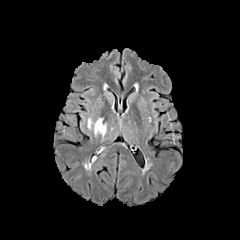
FLAIR MR image.
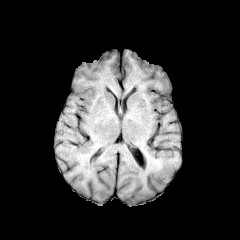
T1-weighted MRI of the same slice.
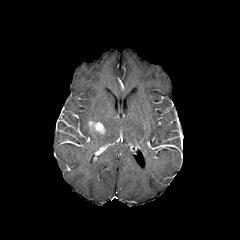
Post-contrast T1-weighted magnetic resonance.
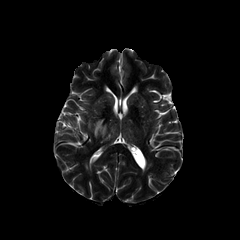
T2-weighted MR image.
Brain, 240x240 px, Axial slice
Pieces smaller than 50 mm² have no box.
{
  "enhancing_tumor": [
    "left=89, top=121, right=105, bottom=133"
  ],
  "peritumoral_edema": [
    "left=87, top=118, right=106, bottom=139"
  ]
}